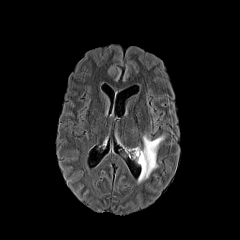
FLAIR MR image.
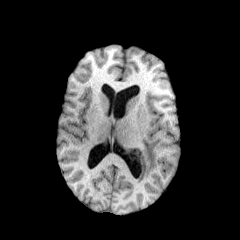
T1-weighted MR image.
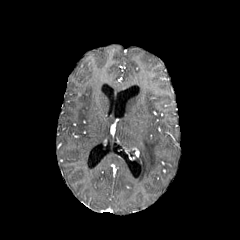
Post-contrast T1-weighted magnetic resonance.
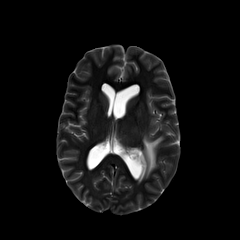
T2-weighted magnetic resonance.
240x240 px | Axial slice
peritumoral edema at rect(137, 135, 163, 182)